Brain | Image width 240 mm | Axial view
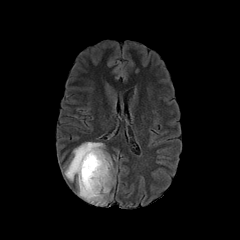
FLAIR MR image.
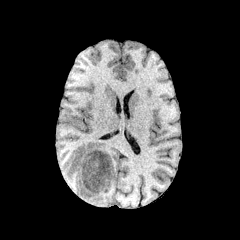
T1-weighted MRI.
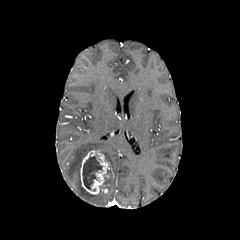
Post-contrast T1-weighted MR image.
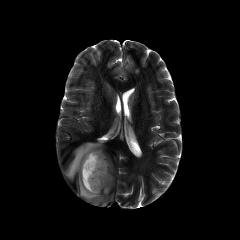
T2-weighted MR image.
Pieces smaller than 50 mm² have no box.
The peritumoral edema appears at (64,142,114,205). The enhancing tumor appears at (80,150,110,194). The largest necrotic tumor core region is located at (82,156,102,189).